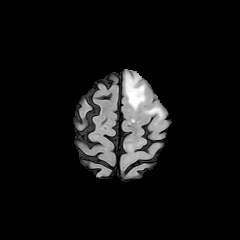
FLAIR MR image.
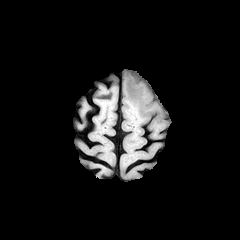
T1-weighted MR image.
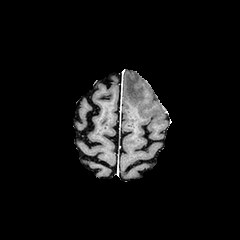
Same slice, post-contrast T1-weighted magnetic resonance.
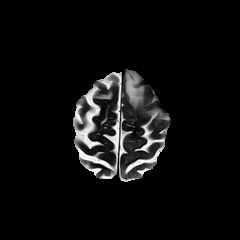
T2-weighted MRI of the same slice.
Head | Axial slice
* peritumoral edema: bbox(125, 73, 144, 108); bbox(146, 108, 163, 119)